240x240 px. Axial view. Head.
FLAIR MR.
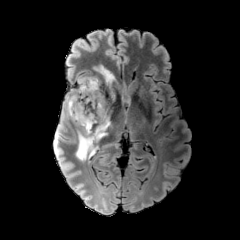
T1-weighted MR image.
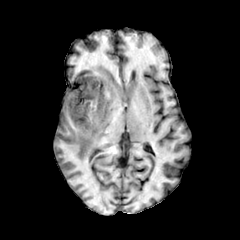
Post-contrast T1-weighted MRI.
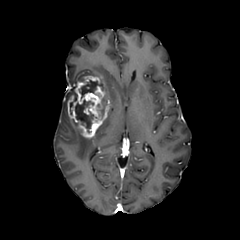
T2-weighted MRI.
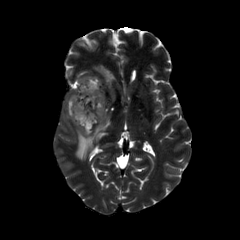
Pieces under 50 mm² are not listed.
{"peritumoral_edema": ["box=[64, 87, 74, 120]", "box=[75, 110, 112, 160]", "box=[94, 66, 116, 103]"], "necrotic_tumor_core": ["box=[79, 80, 100, 98]", "box=[75, 99, 94, 132]"], "enhancing_tumor": ["box=[67, 75, 111, 138]"]}